FLAIR MR.
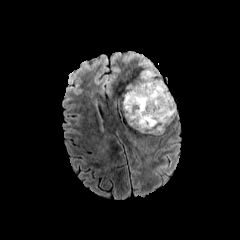
T1-weighted MR.
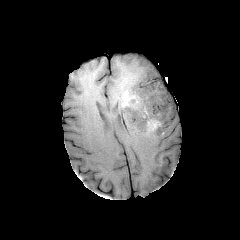
Post-contrast T1-weighted MR.
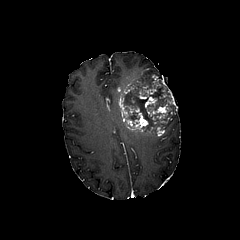
T2-weighted MR image.
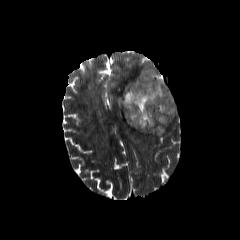
Brain.
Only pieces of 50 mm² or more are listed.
peritumoral edema: x1=139, y1=60, x2=159, y2=76 | necrotic tumor core: x1=125, y1=107, x2=139, y2=120; x1=124, y1=80, x2=174, y2=127 | enhancing tumor: x1=145, y1=96, x2=170, y2=118; x1=119, y1=74, x2=177, y2=136